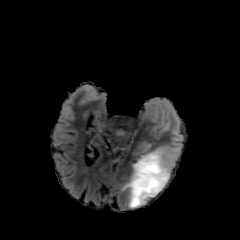
FLAIR magnetic resonance.
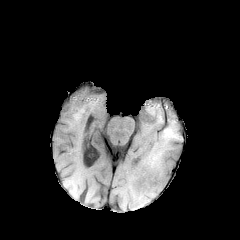
T1-weighted MR of the same slice.
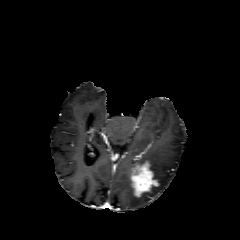
Same slice, post-contrast T1-weighted magnetic resonance.
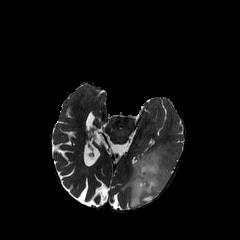
T2-weighted magnetic resonance of the same slice.
Head | Axial plane
The enhancing tumor is located at (x1=131, y1=161, x2=159, y2=197). The peritumoral edema lies within (x1=121, y1=148, x2=172, y2=207).